FLAIR magnetic resonance.
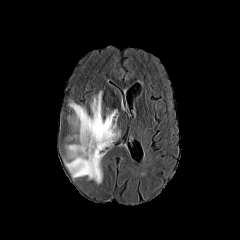
T1-weighted MRI.
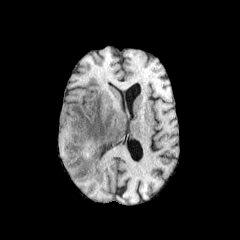
Post-contrast T1-weighted magnetic resonance.
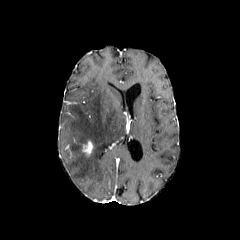
T2-weighted MR image.
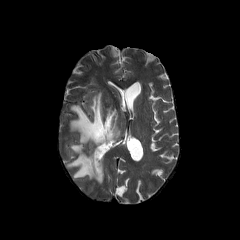
peritumoral edema at rect(66, 92, 120, 183)
enhancing tumor at rect(82, 140, 93, 154)